FLAIR MRI.
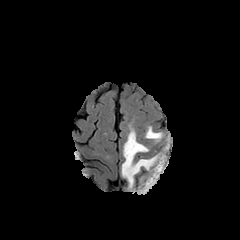
T1-weighted MR image.
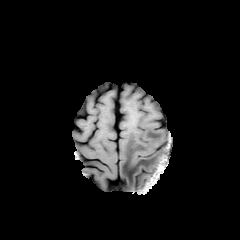
Post-contrast T1-weighted MR.
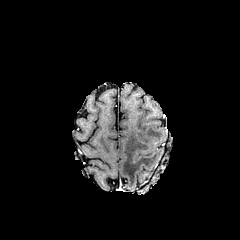
T2-weighted MR.
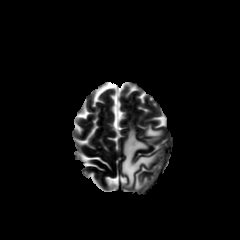
Axial slice. Image size 240x240.
peritumoral edema at 121 128 161 189, 145 126 163 140